FLAIR MR image.
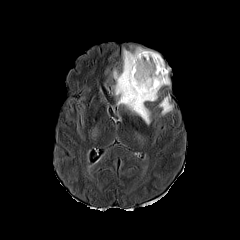
T1-weighted MR image.
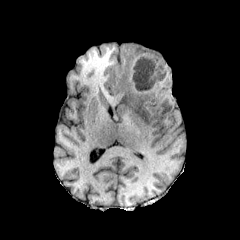
Post-contrast T1-weighted MR image.
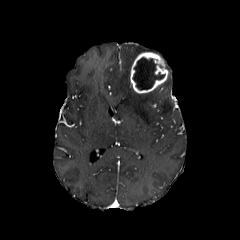
T2-weighted MRI.
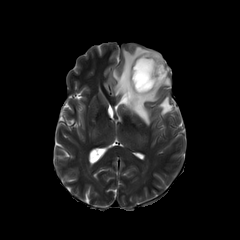
Head
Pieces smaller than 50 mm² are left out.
<segmentation>
  <enhancing_tumor>130:52:168:93</enhancing_tumor>
  <peritumoral_edema>159:96:173:115, 113:47:170:125</peritumoral_edema>
  <necrotic_tumor_core>133:57:164:90</necrotic_tumor_core>
</segmentation>